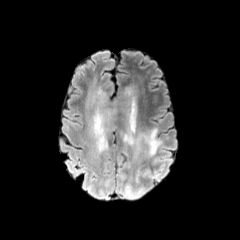
FLAIR MR image.
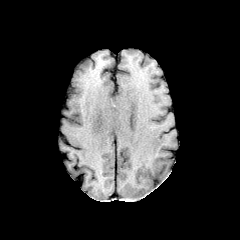
Same slice, T1-weighted MRI.
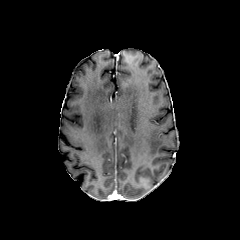
Post-contrast T1-weighted MR of the same slice.
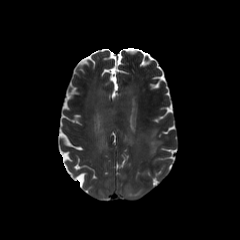
T2-weighted MRI.
Image size 240x240; Axial plane
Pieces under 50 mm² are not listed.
peritumoral edema: left=135, top=129, right=160, bottom=159; left=93, top=92, right=133, bottom=151